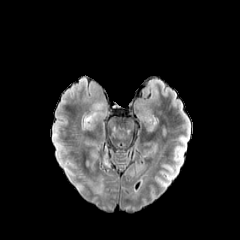
FLAIR magnetic resonance.
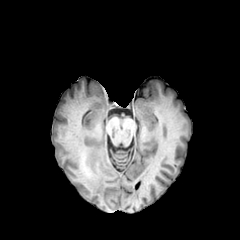
T1-weighted MRI.
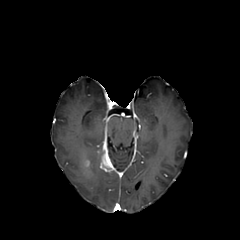
Same slice, post-contrast T1-weighted MR.
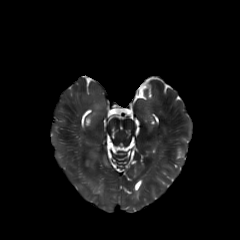
T2-weighted MR.
Brain, 240x240
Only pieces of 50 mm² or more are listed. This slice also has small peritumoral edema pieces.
enhancing tumor: bounding box [100, 151, 111, 170]